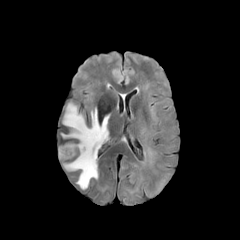
FLAIR MR.
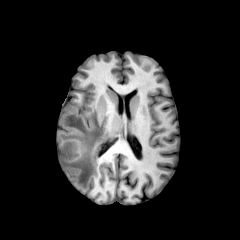
T1-weighted magnetic resonance of the same slice.
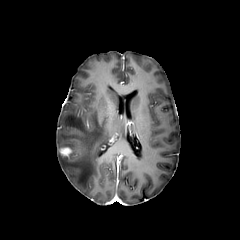
Post-contrast T1-weighted MRI.
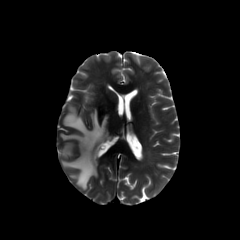
Same slice, T2-weighted MRI.
240x240 px; Brain; Axial plane
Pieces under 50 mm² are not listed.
enhancing tumor: [59,147,72,156] | peritumoral edema: [61,104,108,189]